Brain, Image width 240 mm, 1.00 mm slice spacing, Image size 240x240
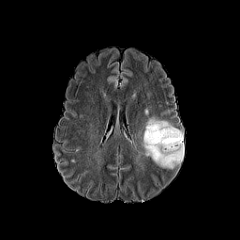
FLAIR MRI.
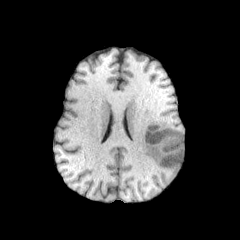
Same slice, T1-weighted MR image.
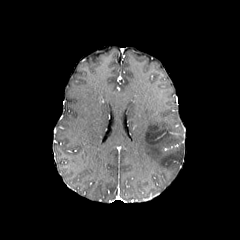
Same slice, post-contrast T1-weighted MR image.
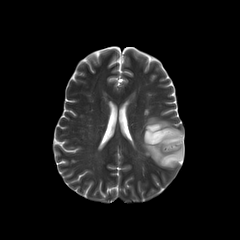
Same slice, T2-weighted MR image.
Annotated regions:
- peritumoral edema: rect(142, 117, 184, 168)